FLAIR MR.
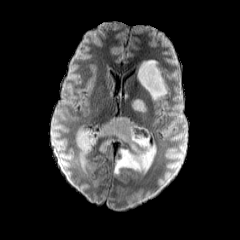
T1-weighted magnetic resonance.
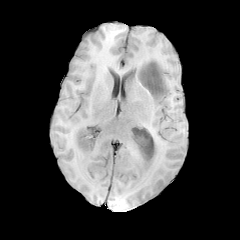
Post-contrast T1-weighted MR.
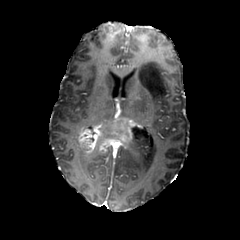
T2-weighted MR image.
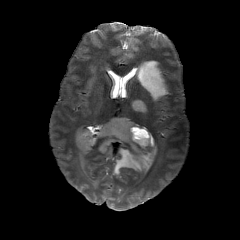
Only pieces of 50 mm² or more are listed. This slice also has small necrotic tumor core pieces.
peritumoral edema: region(114, 130, 156, 173); region(137, 60, 167, 100); region(131, 99, 145, 110) | enhancing tumor: region(77, 117, 139, 153)